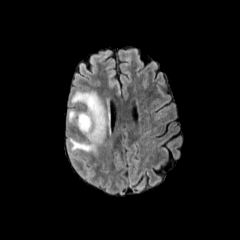
FLAIR MR.
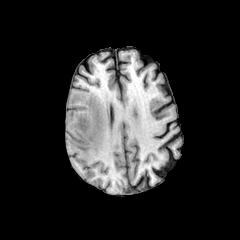
Same slice, T1-weighted MRI.
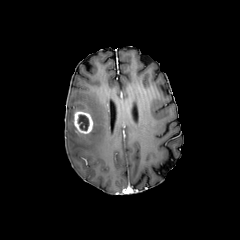
Post-contrast T1-weighted MR image.
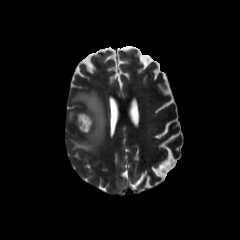
T2-weighted MR.
240x240; Axial plane; Brain
2 peritumoral edema regions are bounded by box(68, 109, 77, 124); box(68, 91, 110, 155). The enhancing tumor lies within box(74, 111, 93, 134). The necrotic tumor core lies within box(77, 114, 89, 130).